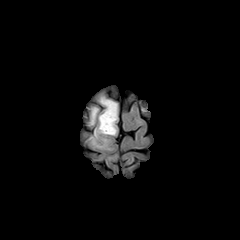
FLAIR MR image.
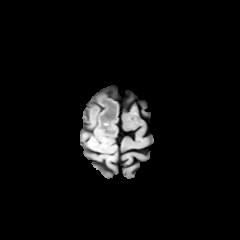
Same slice, T1-weighted MRI.
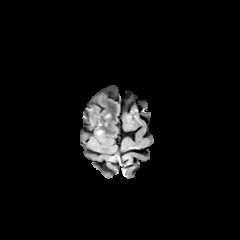
Post-contrast T1-weighted MR.
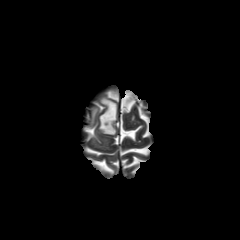
T2-weighted MR image.
Brain
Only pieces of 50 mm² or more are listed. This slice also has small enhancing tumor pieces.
<segmentation>
  <peritumoral_edema>box=[90, 107, 98, 125]; box=[91, 96, 117, 144]</peritumoral_edema>
</segmentation>